Brain | Slice 122/155 | Image covers 240 mm x 240 mm | Axial slice | 240x240 px
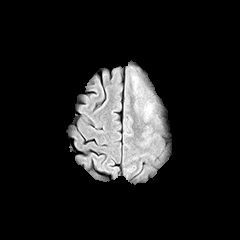
FLAIR MR.
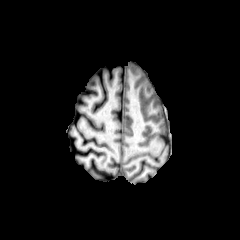
T1-weighted magnetic resonance.
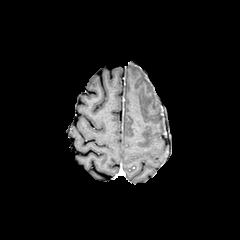
Post-contrast T1-weighted MR.
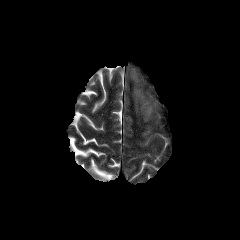
Same slice, T2-weighted MR image.
The peritumoral edema is located at rect(132, 75, 153, 122).